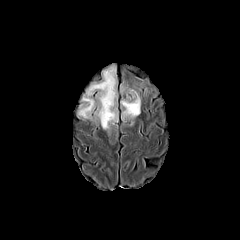
FLAIR MR.
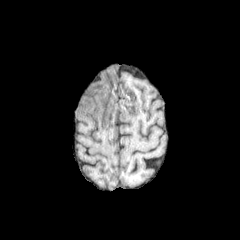
Same slice, T1-weighted MR image.
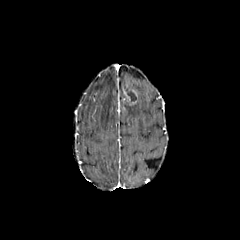
Same slice, post-contrast T1-weighted MR image.
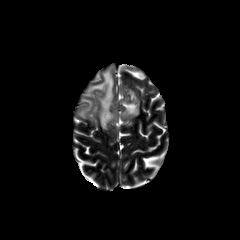
T2-weighted MR image.
240x240 px
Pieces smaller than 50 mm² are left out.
peritumoral edema: left=77, top=64, right=117, bottom=129; left=121, top=91, right=140, bottom=120 | necrotic tumor core: left=126, top=90, right=136, bottom=101 | enhancing tumor: left=122, top=87, right=136, bottom=104